FLAIR magnetic resonance.
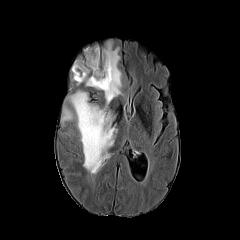
T1-weighted MR.
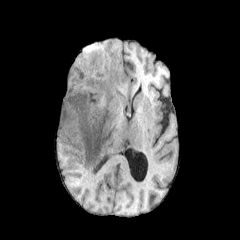
Post-contrast T1-weighted MRI.
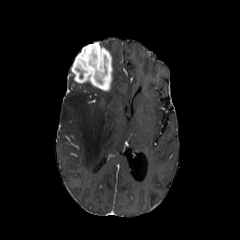
T2-weighted MRI.
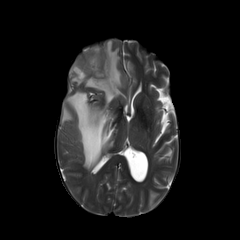
240x240 px
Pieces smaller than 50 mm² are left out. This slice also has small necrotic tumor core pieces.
enhancing tumor: box=[71, 42, 112, 91]
peritumoral edema: box=[61, 41, 121, 171]; box=[84, 77, 99, 89]